Slice 80/155. Head.
FLAIR MR image.
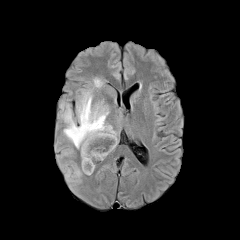
T1-weighted MR.
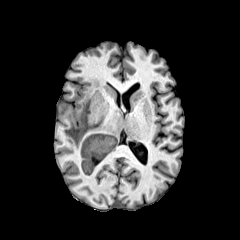
Post-contrast T1-weighted MR image.
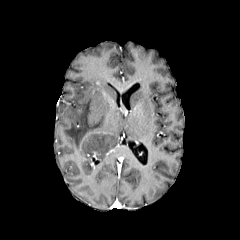
T2-weighted MR.
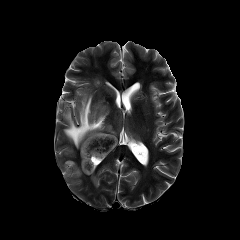
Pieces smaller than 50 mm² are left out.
The 2 largest peritumoral edema regions appear at (x1=63, y1=91, x2=117, y2=174), (x1=93, y1=77, x2=102, y2=86).